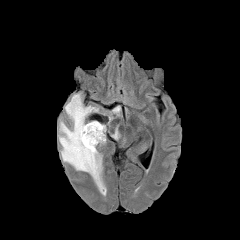
FLAIR MR image.
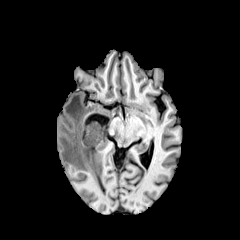
T1-weighted MRI.
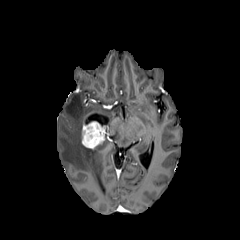
Post-contrast T1-weighted MRI of the same slice.
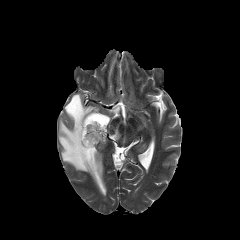
Same slice, T2-weighted MR image.
Axial plane | Brain
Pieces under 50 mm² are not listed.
peritumoral edema: 58,94,104,188; 113,128,119,139 | enhancing tumor: 81,112,106,149